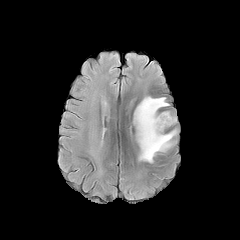
FLAIR MR.
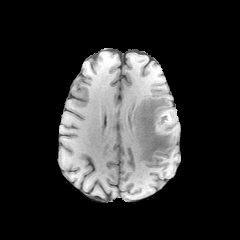
T1-weighted MRI of the same slice.
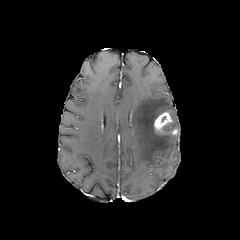
Same slice, post-contrast T1-weighted MRI.
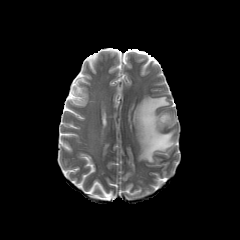
T2-weighted MRI of the same slice.
Axial slice. Image size 240x240. Head.
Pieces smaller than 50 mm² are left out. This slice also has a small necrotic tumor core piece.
The largest enhancing tumor region is at bbox=[153, 112, 172, 132]. The largest peritumoral edema region appears at bbox=[133, 96, 175, 162].